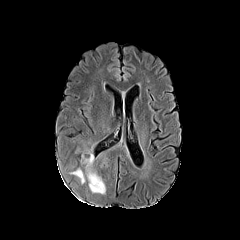
FLAIR MR.
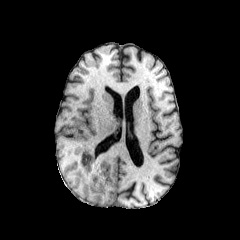
T1-weighted MR image of the same slice.
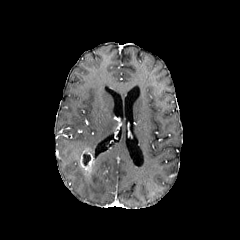
Post-contrast T1-weighted MR image.
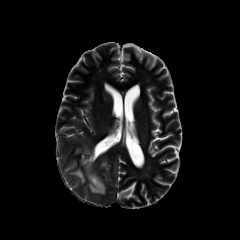
T2-weighted magnetic resonance.
240x240
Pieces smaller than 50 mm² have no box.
The largest necrotic tumor core region is located at x1=83, y1=153, x2=90, y2=165. 2 peritumoral edema regions are bounded by x1=72, y1=169, x2=85, y2=184; x1=87, y1=170, x2=105, y2=194. The largest enhancing tumor region is bounded by x1=81, y1=148, x2=94, y2=175.